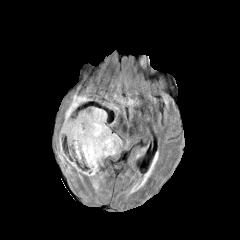
FLAIR magnetic resonance.
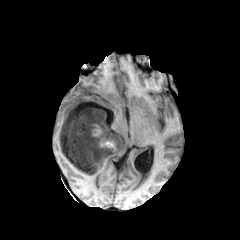
T1-weighted MR image.
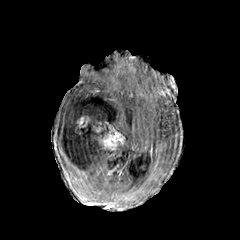
Same slice, post-contrast T1-weighted magnetic resonance.
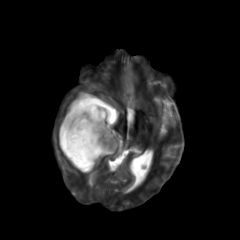
T2-weighted MR.
Axial plane
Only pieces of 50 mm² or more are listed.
The 2 largest peritumoral edema regions appear at box=[63, 90, 121, 188]; box=[67, 158, 81, 171]. The 2 largest enhancing tumor regions are bounded by box=[99, 130, 123, 150]; box=[77, 116, 89, 127]. The largest necrotic tumor core region lies within box=[61, 116, 98, 167].